FLAIR magnetic resonance.
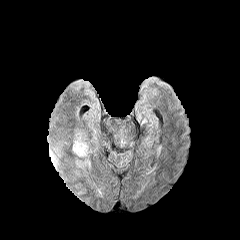
T1-weighted MR.
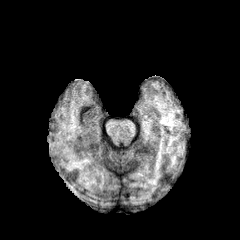
Post-contrast T1-weighted MR image.
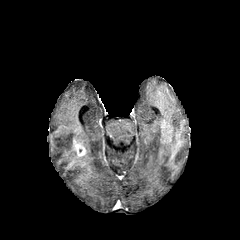
T2-weighted MR.
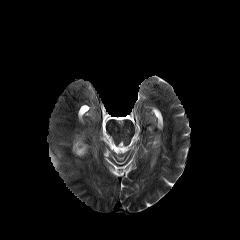
Axial view, Brain, 240x240
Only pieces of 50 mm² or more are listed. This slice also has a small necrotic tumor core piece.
{"peritumoral_edema": ["(x1=50, y1=152, x2=57, y2=166)"], "enhancing_tumor": ["(x1=73, y1=138, x2=86, y2=156)"]}